FLAIR magnetic resonance.
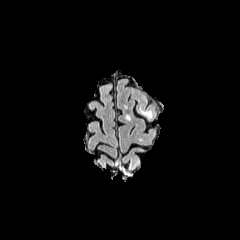
T1-weighted magnetic resonance.
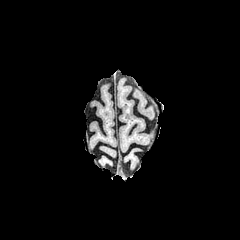
Post-contrast T1-weighted MR image.
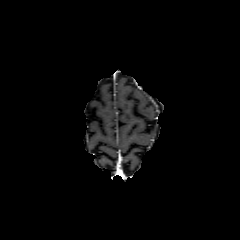
T2-weighted MR image.
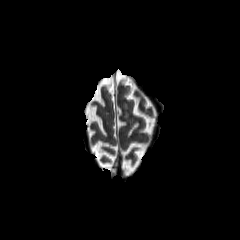
240x240 px | Brain | Axial slice
{
  "peritumoral_edema": [
    "[140,110,152,118]"
  ]
}